FLAIR MR image.
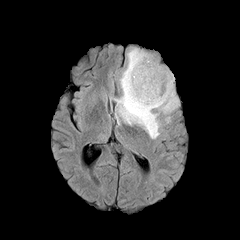
T1-weighted magnetic resonance.
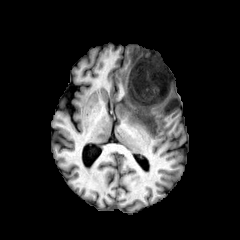
Post-contrast T1-weighted MR.
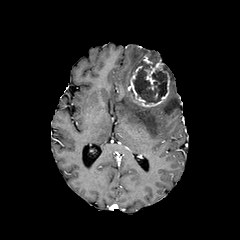
T2-weighted magnetic resonance.
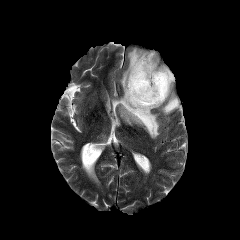
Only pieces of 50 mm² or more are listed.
enhancing tumor at bbox=[127, 55, 170, 107]
peritumoral edema at bbox=[115, 48, 179, 138]
necrotic tumor core at bbox=[133, 60, 167, 103]